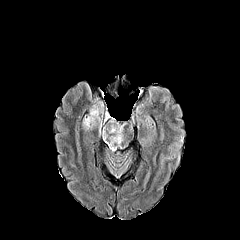
FLAIR magnetic resonance.
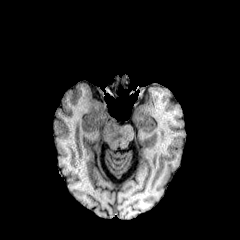
T1-weighted magnetic resonance.
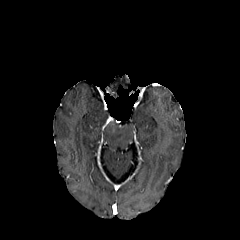
Post-contrast T1-weighted MR.
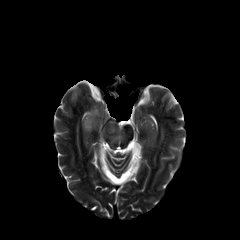
T2-weighted MR.
Axial plane.
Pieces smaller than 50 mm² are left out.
The 2 largest peritumoral edema regions appear at l=83, t=103, r=103, b=132; l=103, t=121, r=123, b=149.